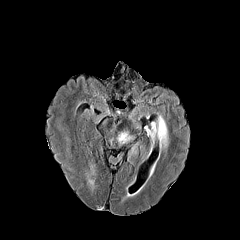
FLAIR magnetic resonance.
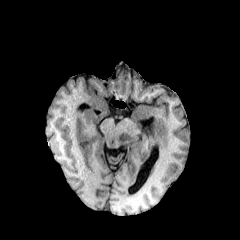
Same slice, T1-weighted MR image.
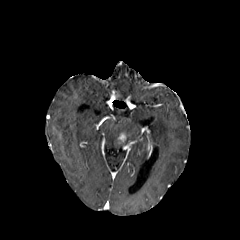
Same slice, post-contrast T1-weighted magnetic resonance.
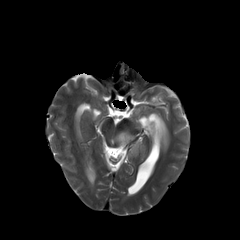
T2-weighted magnetic resonance of the same slice.
Brain
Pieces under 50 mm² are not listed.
The 3 largest peritumoral edema regions are bounded by x1=121, y1=131, x2=132, y2=142; x1=150, y1=115, x2=168, y2=150; x1=130, y1=143, x2=137, y2=155. The enhancing tumor is located at x1=118, y1=133, x2=127, y2=143.